FLAIR MR image.
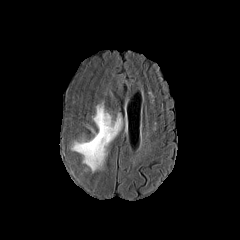
T1-weighted magnetic resonance.
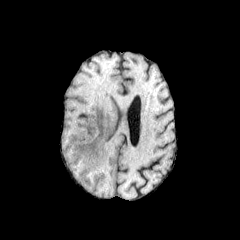
Post-contrast T1-weighted MR.
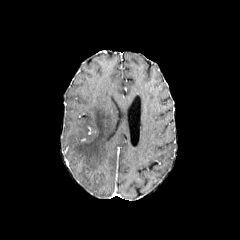
T2-weighted magnetic resonance.
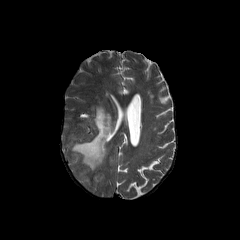
Axial slice; 240x240 px; Brain
The peritumoral edema is located at left=72, top=104, right=121, bottom=171.